FLAIR MR image.
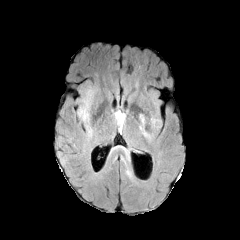
T1-weighted MR image.
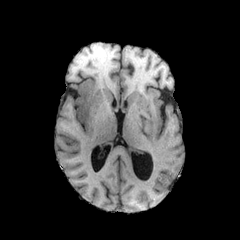
Post-contrast T1-weighted magnetic resonance.
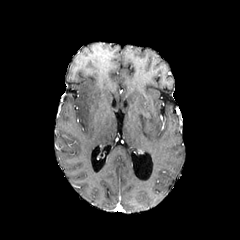
T2-weighted MRI.
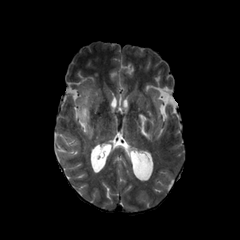
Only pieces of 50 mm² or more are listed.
peritumoral edema = <bbox>139, 122, 151, 140</bbox>, <bbox>77, 97, 93, 137</bbox>